Head; Axial plane; Image size 240x240
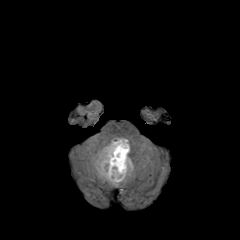
FLAIR MRI.
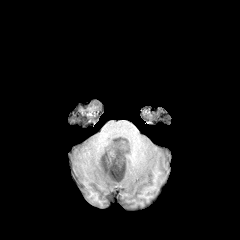
Same slice, T1-weighted MRI.
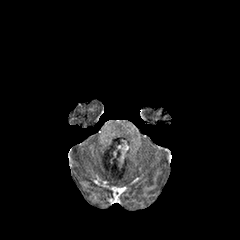
Post-contrast T1-weighted MR.
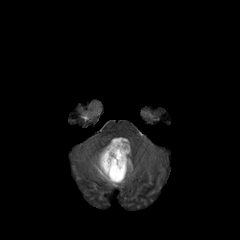
Same slice, T2-weighted magnetic resonance.
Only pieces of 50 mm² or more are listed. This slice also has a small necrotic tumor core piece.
The peritumoral edema is located at rect(94, 138, 133, 186). The enhancing tumor lies within rect(104, 140, 128, 179).